FLAIR MRI.
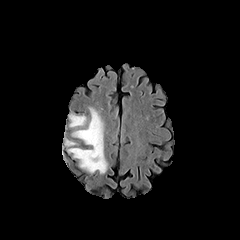
T1-weighted MRI.
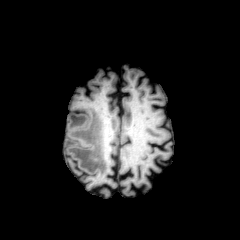
Post-contrast T1-weighted MRI.
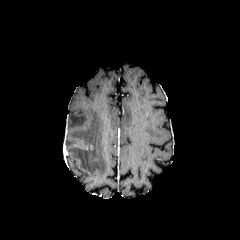
T2-weighted MRI.
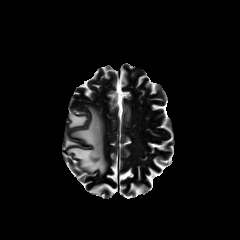
Axial plane. 240x240. Head.
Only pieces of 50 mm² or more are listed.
{
  "peritumoral_edema": [
    "region(68, 107, 107, 174)"
  ]
}